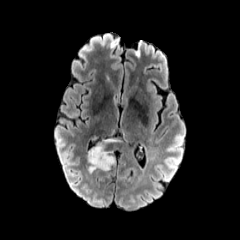
FLAIR magnetic resonance.
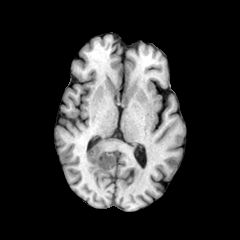
T1-weighted MR image.
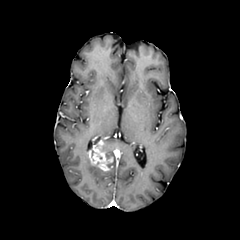
Post-contrast T1-weighted magnetic resonance.
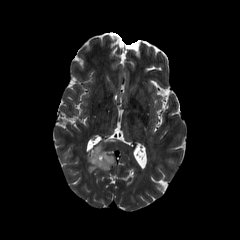
Same slice, T2-weighted magnetic resonance.
Head
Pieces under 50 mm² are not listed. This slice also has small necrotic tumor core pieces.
peritumoral_edema:
  - [103,139,116,149]
enhancing_tumor:
  - [87,140,113,171]